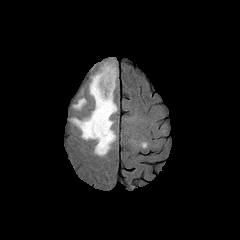
FLAIR MR image.
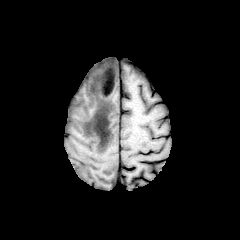
T1-weighted MRI.
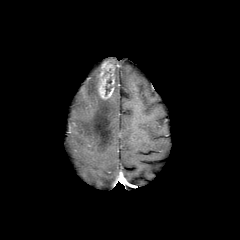
Same slice, post-contrast T1-weighted MRI.
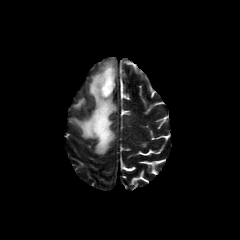
T2-weighted magnetic resonance of the same slice.
Brain
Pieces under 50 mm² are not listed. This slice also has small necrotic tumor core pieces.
Findings:
- peritumoral edema: [73,98,85,109], [71,70,117,155]
- enhancing tumor: [97,59,115,99]